FLAIR MR image.
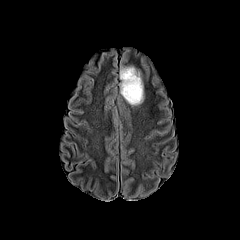
T1-weighted MRI.
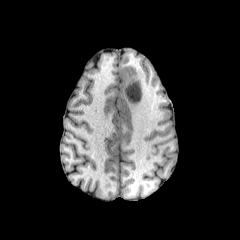
Post-contrast T1-weighted MRI.
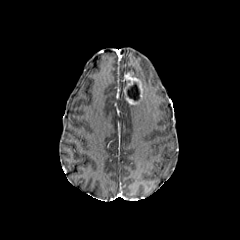
T2-weighted magnetic resonance.
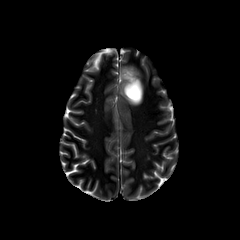
Axial view
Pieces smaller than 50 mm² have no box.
enhancing_tumor:
  - box(123, 71, 142, 104)
necrotic_tumor_core:
  - box(127, 83, 139, 100)
peritumoral_edema:
  - box(120, 66, 141, 98)